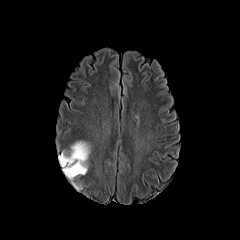
FLAIR MRI.
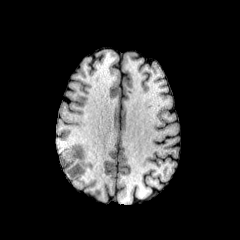
T1-weighted magnetic resonance.
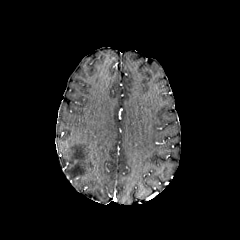
Post-contrast T1-weighted MR of the same slice.
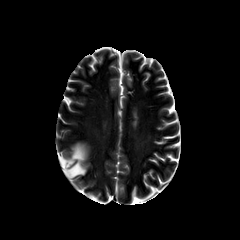
T2-weighted MR image of the same slice.
Brain.
The peritumoral edema is located at left=59, top=142, right=89, bottom=179.